Image width 240 mm. 240x240.
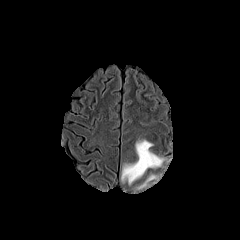
FLAIR magnetic resonance.
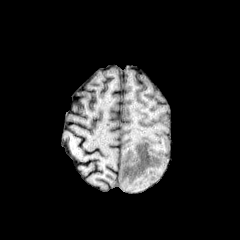
T1-weighted MRI.
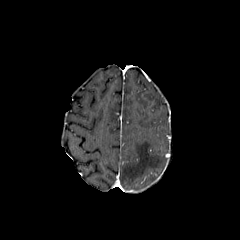
Same slice, post-contrast T1-weighted MR.
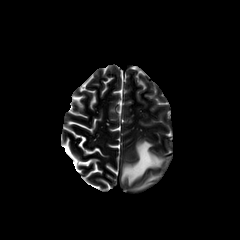
T2-weighted MR.
peritumoral edema: region(121, 140, 164, 184); region(137, 175, 156, 189)